FLAIR MRI.
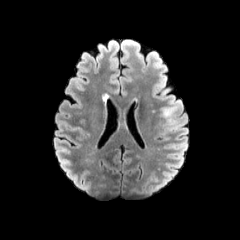
T1-weighted magnetic resonance.
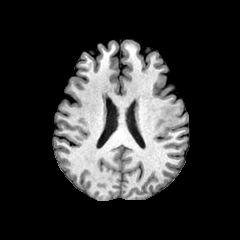
Post-contrast T1-weighted magnetic resonance.
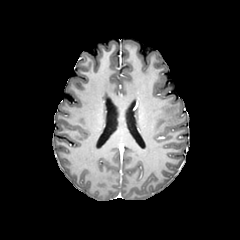
T2-weighted MR image.
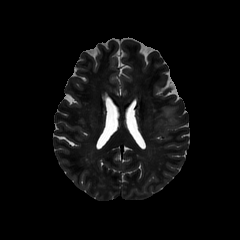
Axial view.
peritumoral edema: 162, 107, 177, 125